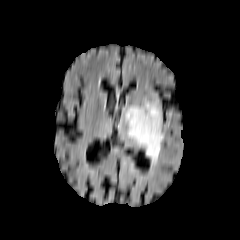
FLAIR magnetic resonance.
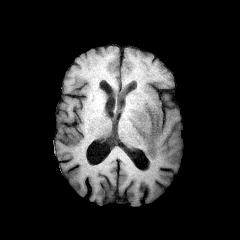
Same slice, T1-weighted MRI.
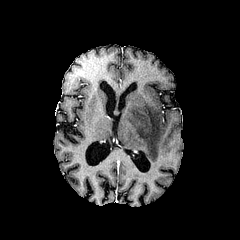
Same slice, post-contrast T1-weighted MR image.
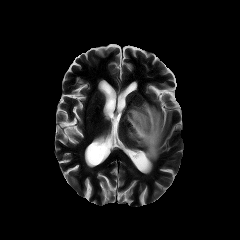
Same slice, T2-weighted MR image.
The peritumoral edema is at left=125, top=101, right=163, bottom=162.